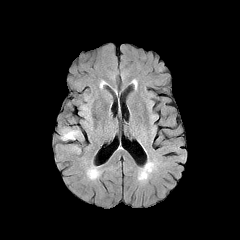
FLAIR MRI.
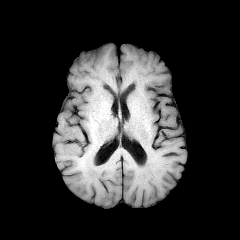
Same slice, T1-weighted magnetic resonance.
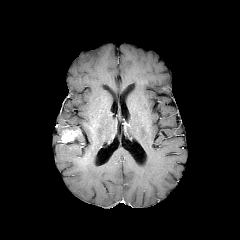
Post-contrast T1-weighted MR image.
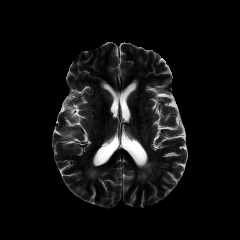
Same slice, T2-weighted MR.
Brain
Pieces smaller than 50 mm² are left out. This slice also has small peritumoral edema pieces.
<segmentation>
  <enhancing_tumor>(61, 129, 81, 142)</enhancing_tumor>
</segmentation>